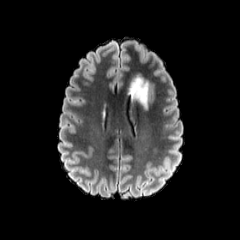
FLAIR MR image.
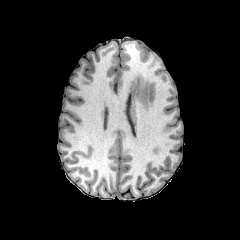
T1-weighted MR image of the same slice.
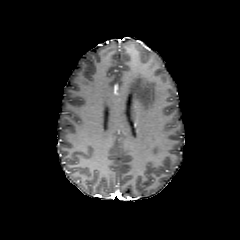
Same slice, post-contrast T1-weighted MRI.
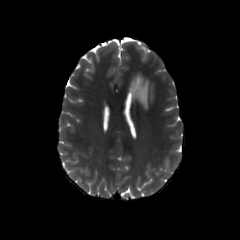
T2-weighted MR of the same slice.
The peritumoral edema is at <bbox>129, 75, 148, 108</bbox>.